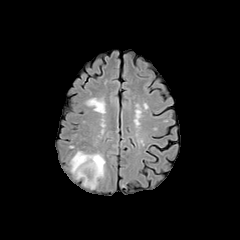
FLAIR MRI.
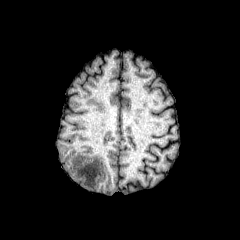
T1-weighted magnetic resonance.
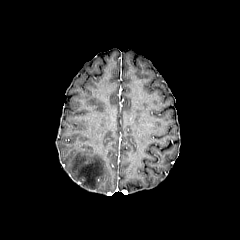
Post-contrast T1-weighted MRI.
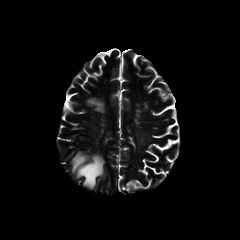
Same slice, T2-weighted MR image.
Axial plane
peritumoral edema: <bbox>70, 151, 105, 189</bbox>